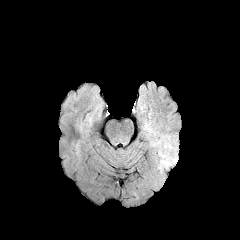
FLAIR MR.
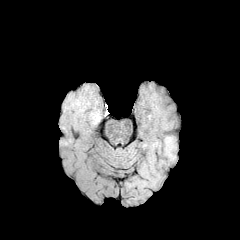
Same slice, T1-weighted MR image.
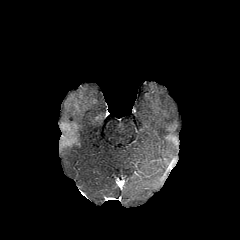
Post-contrast T1-weighted MR of the same slice.
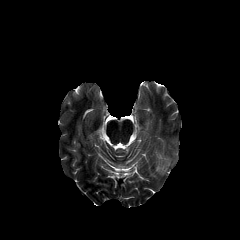
Same slice, T2-weighted magnetic resonance.
240x240 | Brain
peritumoral edema: [x1=162, y1=146, x2=177, y2=169]